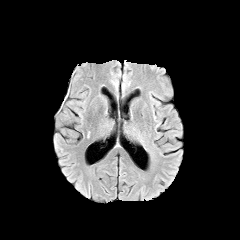
FLAIR MRI.
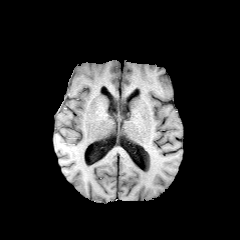
T1-weighted MRI of the same slice.
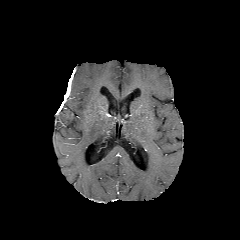
Post-contrast T1-weighted magnetic resonance.
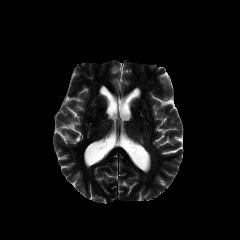
T2-weighted magnetic resonance of the same slice.
Brain, Axial slice
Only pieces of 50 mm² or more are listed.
enhancing tumor: 56,90,68,114